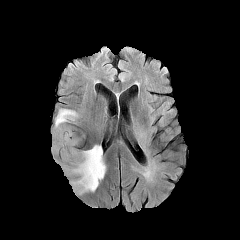
FLAIR MRI.
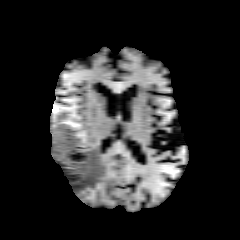
T1-weighted MRI of the same slice.
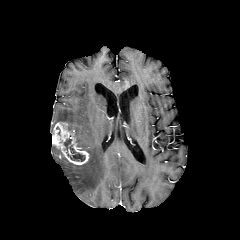
Post-contrast T1-weighted magnetic resonance.
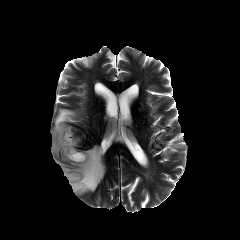
T2-weighted magnetic resonance of the same slice.
Image size 240x240 | Head | Axial slice
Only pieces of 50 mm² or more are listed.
necrotic tumor core: (x1=68, y1=146, x2=84, y2=161), (x1=64, y1=139, x2=71, y2=152) | peritumoral edema: (x1=55, y1=108, x2=78, y2=124), (x1=55, y1=145, x2=106, y2=194) | enhancing tumor: (x1=52, y1=122, x2=89, y2=165)